Image covers 240 mm x 240 mm; Head; 240x240; Axial slice
FLAIR MRI.
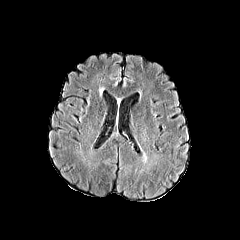
T1-weighted MR.
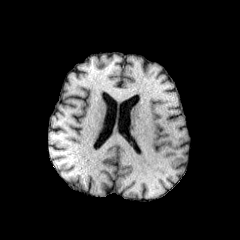
Post-contrast T1-weighted magnetic resonance.
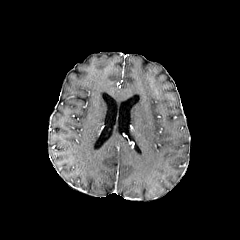
T2-weighted magnetic resonance.
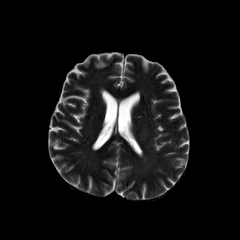
The peritumoral edema lies within (x1=142, y1=150, x2=147, y2=163).